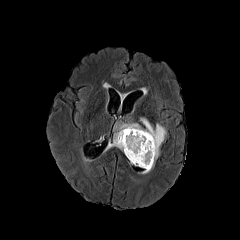
FLAIR MR.
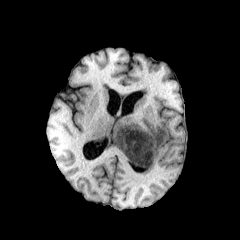
T1-weighted MR image.
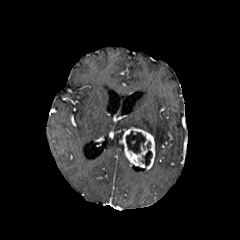
Same slice, post-contrast T1-weighted magnetic resonance.
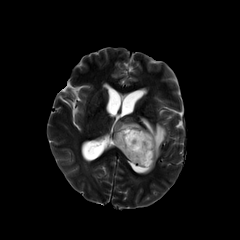
T2-weighted MR image.
Axial slice
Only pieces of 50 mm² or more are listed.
The largest enhancing tumor region appears at rect(119, 127, 155, 170). 2 necrotic tumor core regions appear at rect(126, 131, 146, 153); rect(141, 141, 152, 166). The peritumoral edema is at rect(109, 118, 166, 173).